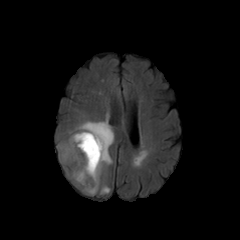
FLAIR MR image.
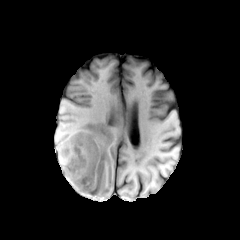
T1-weighted magnetic resonance.
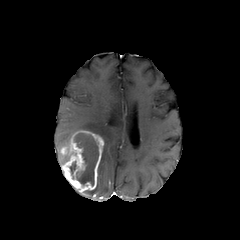
Post-contrast T1-weighted MR image.
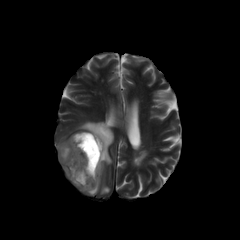
T2-weighted magnetic resonance.
Axial view; Brain
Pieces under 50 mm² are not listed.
2 enhancing tumor regions appear at <box>60,146,68,155</box>, <box>61,130,104,192</box>. 2 peritumoral edema regions appear at <box>57,136,71,165</box>, <box>70,113,114,195</box>. The largest necrotic tumor core region appears at <box>75,133,98,185</box>.